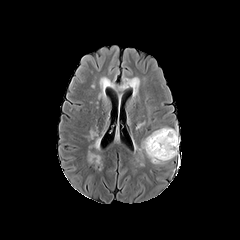
FLAIR magnetic resonance.
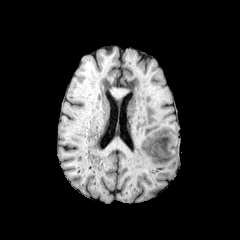
T1-weighted magnetic resonance of the same slice.
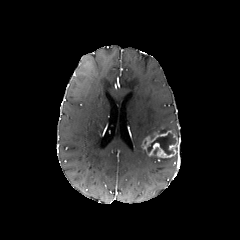
Post-contrast T1-weighted MRI of the same slice.
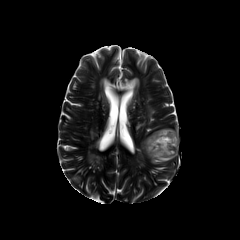
Same slice, T2-weighted MR image.
Head | Image size 240x240 | Axial slice
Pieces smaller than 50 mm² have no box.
<segmentation>
  <necrotic_tumor_core>{"x1": 147, "y1": 133, "x2": 176, "y2": 154}</necrotic_tumor_core>
  <peritumoral_edema>{"x1": 157, "y1": 127, "x2": 178, "y2": 135}, {"x1": 147, "y1": 155, "x2": 170, "y2": 163}</peritumoral_edema>
  <enhancing_tumor>{"x1": 142, "y1": 130, "x2": 180, "y2": 159}</enhancing_tumor>
</segmentation>